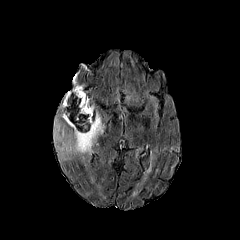
FLAIR MR image.
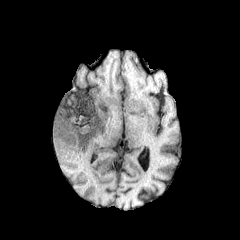
T1-weighted MR of the same slice.
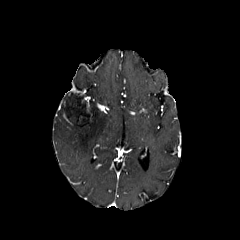
Post-contrast T1-weighted MR.
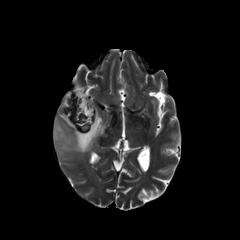
Same slice, T2-weighted MR image.
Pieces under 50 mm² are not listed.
The 2 largest enhancing tumor regions are bounded by x1=82, y1=97, x2=92, y2=116; x1=71, y1=88, x2=84, y2=95. The necrotic tumor core is bounded by x1=61, y1=92, x2=90, y2=132. The largest peritumoral edema region appears at x1=53, y1=111, x2=105, y2=159.